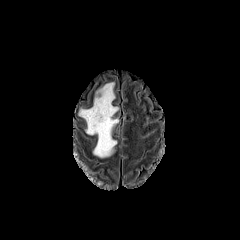
FLAIR magnetic resonance.
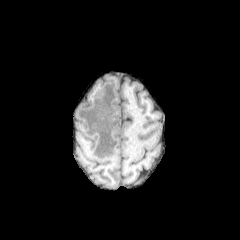
T1-weighted MR image.
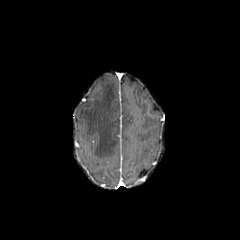
Post-contrast T1-weighted MRI.
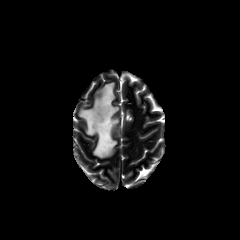
Same slice, T2-weighted magnetic resonance.
Head
peritumoral edema: box(78, 82, 118, 158)